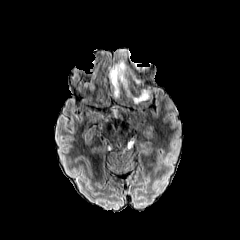
FLAIR MR image.
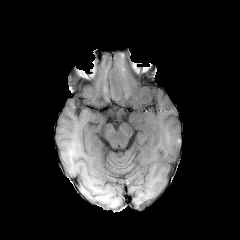
T1-weighted MRI of the same slice.
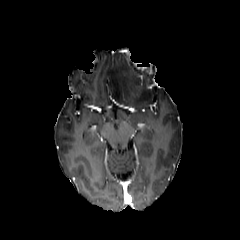
Post-contrast T1-weighted MRI of the same slice.
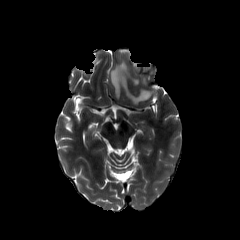
T2-weighted MR image of the same slice.
Axial slice
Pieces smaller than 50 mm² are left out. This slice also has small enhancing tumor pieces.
{
  "peritumoral_edema": [
    "bbox(132, 90, 150, 103)",
    "bbox(110, 61, 126, 96)"
  ]
}